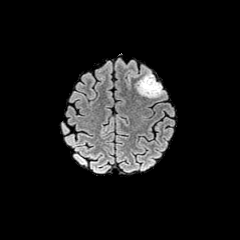
FLAIR MRI.
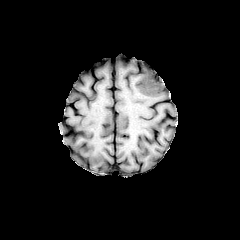
Same slice, T1-weighted magnetic resonance.
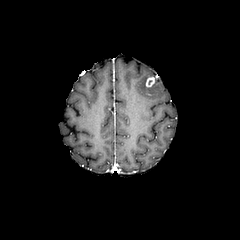
Post-contrast T1-weighted MR image.
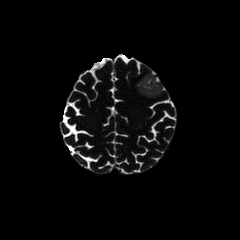
Same slice, T2-weighted MRI.
Brain | Axial view
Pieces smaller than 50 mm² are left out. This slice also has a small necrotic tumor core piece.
<segmentation>
  <enhancing_tumor><box>145,76,155,88</box></enhancing_tumor>
  <peritumoral_edema><box>137,72,163,97</box></peritumoral_edema>
</segmentation>